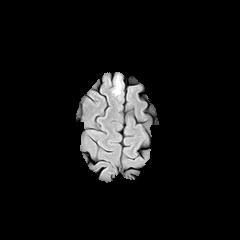
FLAIR MR image.
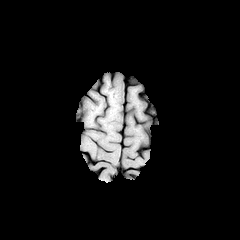
T1-weighted MR image.
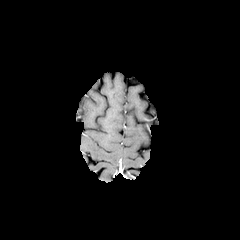
Post-contrast T1-weighted MR of the same slice.
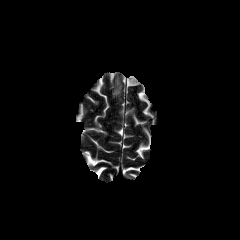
T2-weighted magnetic resonance of the same slice.
Brain; Axial slice; 240x240 px
peritumoral edema: {"x1": 113, "y1": 76, "x2": 121, "y2": 94}